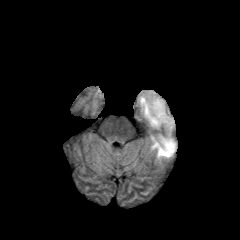
FLAIR MR image.
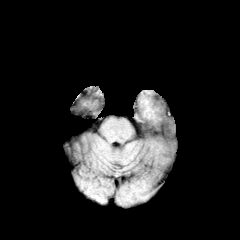
T1-weighted MR image.
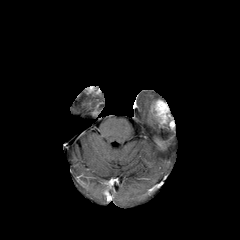
Post-contrast T1-weighted MRI of the same slice.
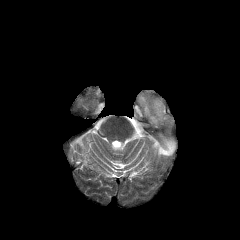
Same slice, T2-weighted magnetic resonance.
Brain; Axial view
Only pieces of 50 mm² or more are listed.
enhancing tumor at bbox=[151, 98, 174, 130]; bbox=[154, 136, 173, 150]
peritumoral edema at bbox=[136, 91, 159, 129]; bbox=[150, 128, 176, 159]